Axial slice. Slice index 124. Brain.
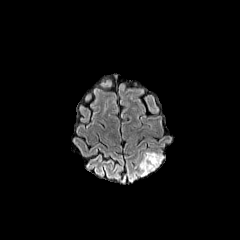
FLAIR MRI.
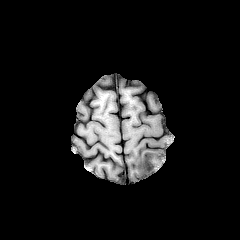
T1-weighted magnetic resonance.
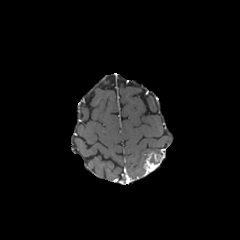
Same slice, post-contrast T1-weighted MRI.
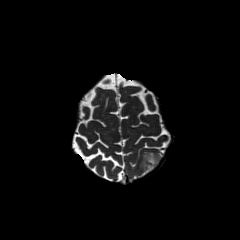
Same slice, T2-weighted MRI.
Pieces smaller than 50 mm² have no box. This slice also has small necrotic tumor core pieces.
<segmentation>
  <peritumoral_edema>[138,152,154,176]</peritumoral_edema>
  <enhancing_tumor>[143,153,161,174]</enhancing_tumor>
</segmentation>